Axial view
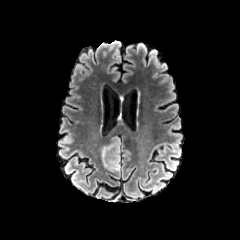
FLAIR MRI.
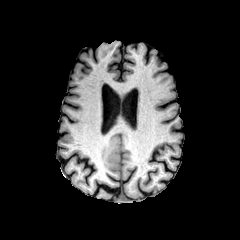
T1-weighted MR image.
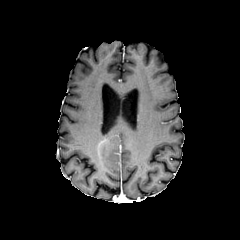
Same slice, post-contrast T1-weighted MR.
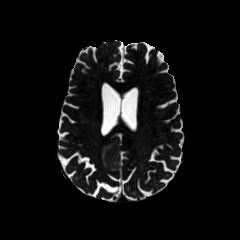
T2-weighted MR image.
The peritumoral edema lies within rect(101, 136, 120, 171).